FLAIR MRI.
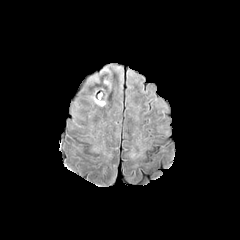
T1-weighted MR image.
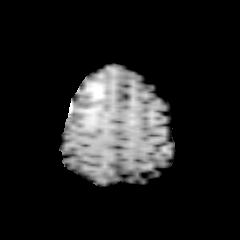
Post-contrast T1-weighted magnetic resonance.
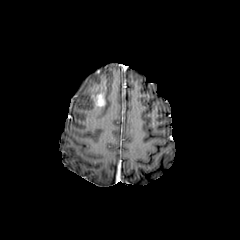
T2-weighted magnetic resonance.
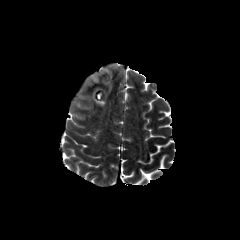
Axial view; Image size 240x240; Brain
enhancing tumor: 87:79:110:106